Image size 240x240, Slice index 49, Brain, Axial slice
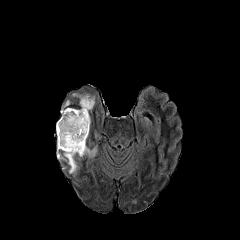
FLAIR MRI.
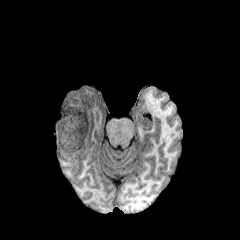
T1-weighted MR of the same slice.
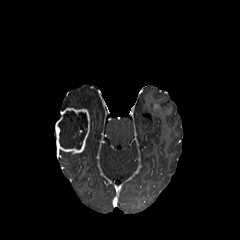
Post-contrast T1-weighted magnetic resonance of the same slice.
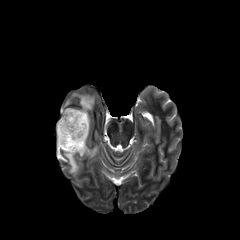
T2-weighted magnetic resonance.
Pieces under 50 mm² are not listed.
necrotic_tumor_core:
  - rect(58, 111, 87, 149)
peritumoral_edema:
  - rect(72, 93, 95, 110)
  - rect(78, 146, 96, 157)
  - rect(63, 152, 78, 173)
enhancing_tumor:
  - rect(56, 108, 89, 153)